FLAIR MR.
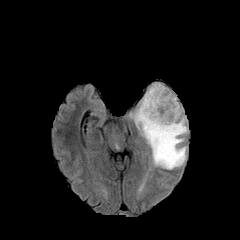
T1-weighted MR.
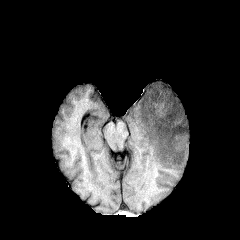
Post-contrast T1-weighted magnetic resonance.
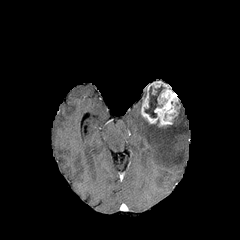
T2-weighted MR image.
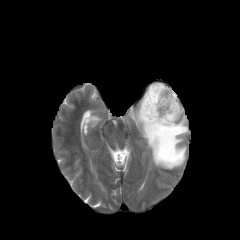
Brain; Axial plane
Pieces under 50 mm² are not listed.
necrotic tumor core: [145, 86, 164, 117]
peritumoral edema: [129, 100, 188, 169]
enhancing tumor: [140, 81, 180, 126]